Brain; 240x240 px; Slice index 87
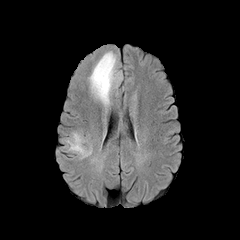
FLAIR MRI.
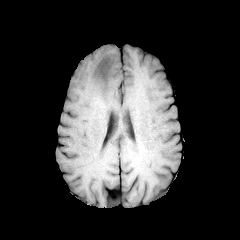
Same slice, T1-weighted magnetic resonance.
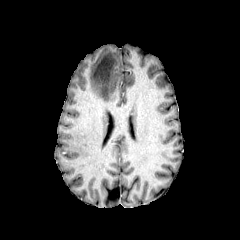
Post-contrast T1-weighted magnetic resonance of the same slice.
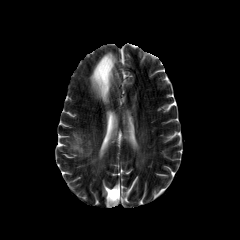
T2-weighted MR.
peritumoral_edema:
  - box=[89, 51, 120, 105]